FLAIR magnetic resonance.
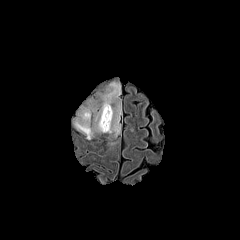
T1-weighted magnetic resonance.
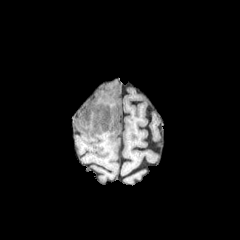
Post-contrast T1-weighted MR image.
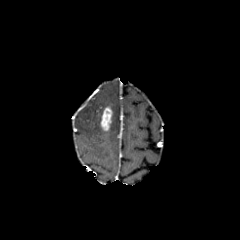
T2-weighted MRI.
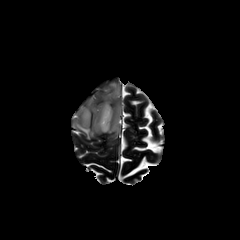
Brain
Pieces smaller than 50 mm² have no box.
enhancing_tumor:
  - bbox=[100, 106, 112, 131]
peritumoral_edema:
  - bbox=[73, 82, 121, 139]